240x240 px.
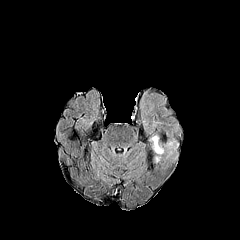
FLAIR MR image.
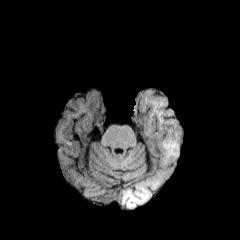
T1-weighted MR.
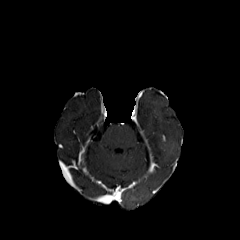
Post-contrast T1-weighted magnetic resonance.
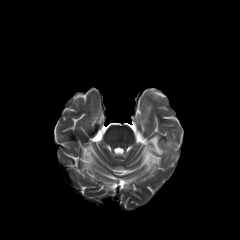
Same slice, T2-weighted MRI.
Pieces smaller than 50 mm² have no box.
The largest peritumoral edema region is bounded by 152, 135, 163, 153.